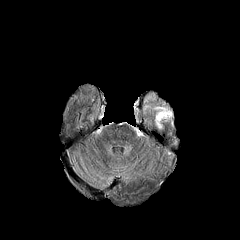
FLAIR magnetic resonance.
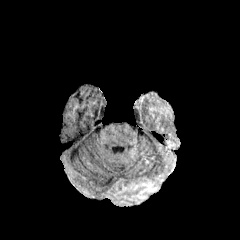
T1-weighted MR image of the same slice.
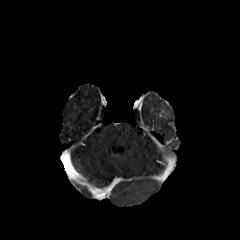
Post-contrast T1-weighted MR image.
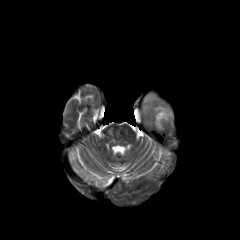
T2-weighted MR.
Axial view | Head
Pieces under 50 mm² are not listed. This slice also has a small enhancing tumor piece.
Segmented structures:
• peritumoral edema: (left=156, top=115, right=161, bottom=127)